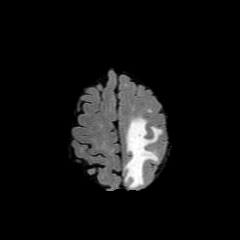
FLAIR magnetic resonance.
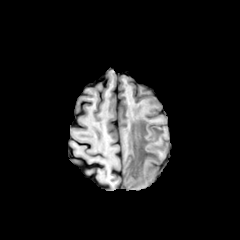
T1-weighted MR.
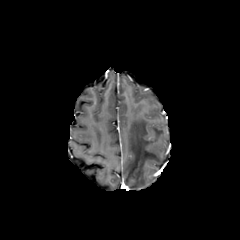
Post-contrast T1-weighted MR of the same slice.
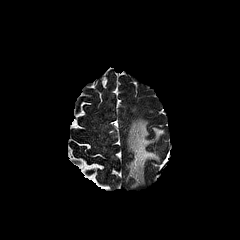
T2-weighted MR of the same slice.
Axial plane; Brain
peritumoral edema — (left=125, top=117, right=162, bottom=187)